Axial view; Image size 240x240; Image covers 240 mm x 240 mm; Slice index 113
FLAIR MRI.
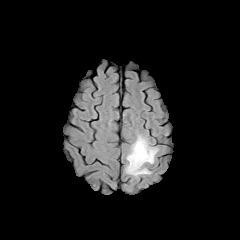
T1-weighted MR image.
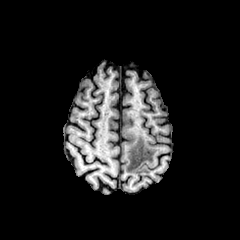
Post-contrast T1-weighted magnetic resonance.
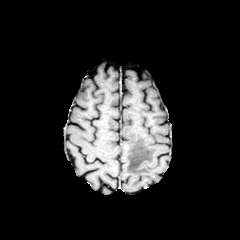
T2-weighted MR.
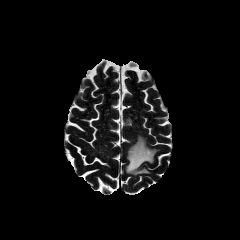
peritumoral edema at x1=125 y1=135 x2=158 y2=176